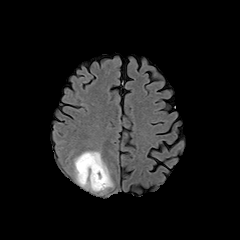
FLAIR MR image.
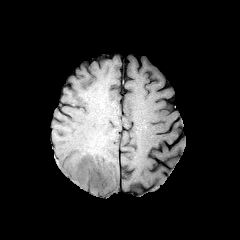
T1-weighted MR of the same slice.
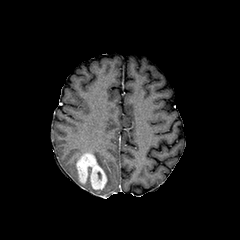
Post-contrast T1-weighted MRI.
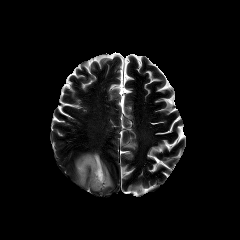
T2-weighted magnetic resonance.
Head, Image size 240x240
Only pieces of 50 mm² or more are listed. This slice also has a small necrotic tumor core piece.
Segmented structures:
* enhancing tumor: [76, 153, 107, 189]
* peritumoral edema: [74, 151, 113, 192]